Head
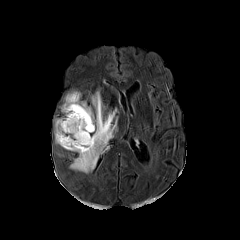
FLAIR MRI.
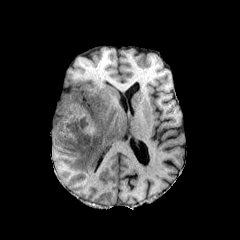
T1-weighted magnetic resonance.
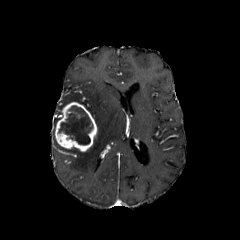
Post-contrast T1-weighted magnetic resonance.
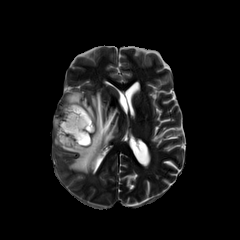
T2-weighted magnetic resonance of the same slice.
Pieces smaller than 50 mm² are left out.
peritumoral edema: bounding box (70, 91, 117, 173), (61, 92, 86, 109)
enhancing tumor: bounding box (55, 102, 97, 151)
necrotic tumor core: bounding box (58, 106, 92, 144)